Image size 240x240 | Image covers 240 mm x 240 mm | Axial view
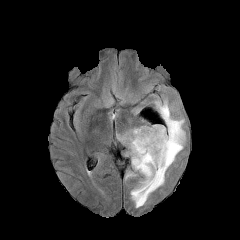
FLAIR MR image.
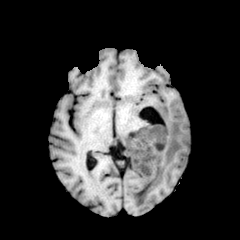
Same slice, T1-weighted MRI.
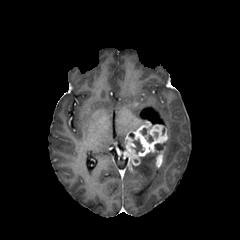
Post-contrast T1-weighted MRI.
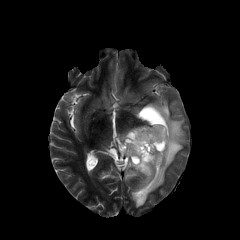
Same slice, T2-weighted MR image.
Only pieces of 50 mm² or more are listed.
peritumoral edema: bounding box 131:100:185:207, 125:172:135:179, 118:132:127:144
enhancing tumor: bounding box 123:124:167:165, 155:147:165:167
necrotic tumor core: bounding box 133:139:143:153